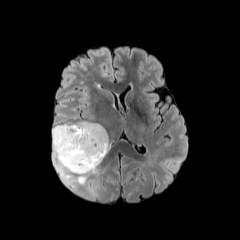
FLAIR MR.
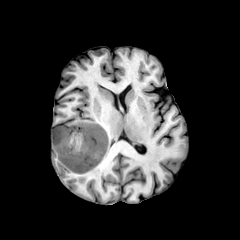
Same slice, T1-weighted MR.
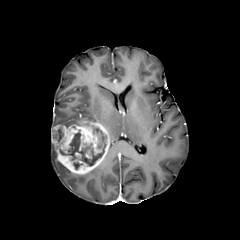
Post-contrast T1-weighted MR.
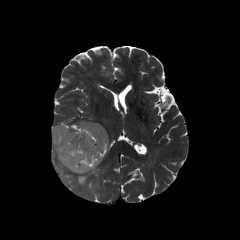
Same slice, T2-weighted MR image.
Axial view | Brain
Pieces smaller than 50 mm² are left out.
<segmentation>
  <peritumoral_edema><bbox>77, 167, 97, 184</bbox>, <bbox>52, 145, 70, 180</bbox></peritumoral_edema>
  <enhancing_tumor><bbox>52, 120, 110, 174</bbox></enhancing_tumor>
  <necrotic_tumor_core><bbox>60, 128, 106, 166</bbox></necrotic_tumor_core>
</segmentation>